FLAIR MR.
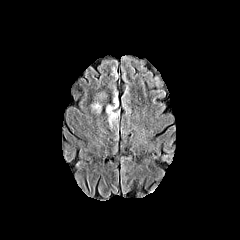
T1-weighted magnetic resonance.
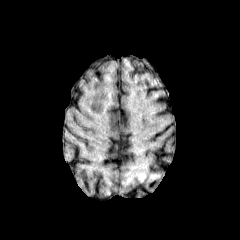
Post-contrast T1-weighted magnetic resonance.
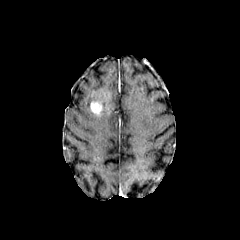
T2-weighted MR.
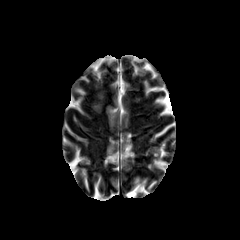
Axial slice
peritumoral edema = l=105, t=92, r=118, b=124
enhancing tumor = l=91, t=101, r=102, b=115